Axial plane
FLAIR MR.
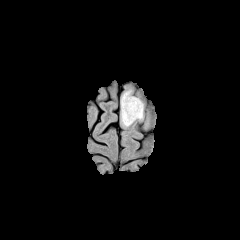
T1-weighted magnetic resonance.
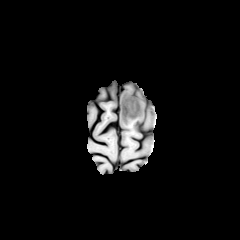
Post-contrast T1-weighted magnetic resonance.
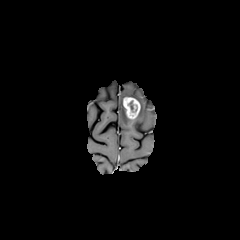
T2-weighted MR image.
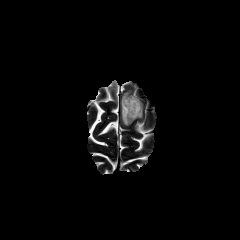
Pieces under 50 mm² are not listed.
Findings:
• enhancing tumor: l=123, t=97, r=140, b=119
• necrotic tumor core: l=128, t=101, r=137, b=111
• peritumoral edema: l=120, t=89, r=143, b=127